Slice 114/155
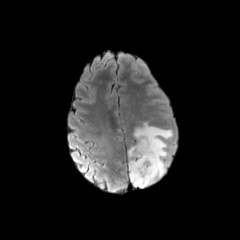
FLAIR MR.
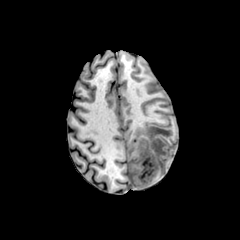
T1-weighted MR image.
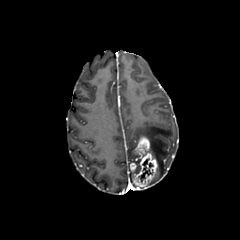
Post-contrast T1-weighted magnetic resonance.
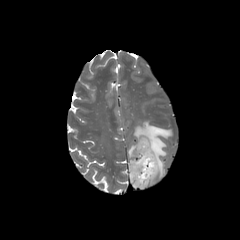
T2-weighted magnetic resonance of the same slice.
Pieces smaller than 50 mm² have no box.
<segmentation>
  <necrotic_tumor_core>box(138, 159, 152, 180)</necrotic_tumor_core>
  <peritumoral_edema>box(134, 122, 172, 186); box(128, 145, 138, 158); box(130, 159, 140, 173)</peritumoral_edema>
  <enhancing_tumor>box(130, 137, 157, 187)</enhancing_tumor>
</segmentation>